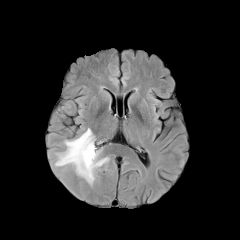
FLAIR MR image.
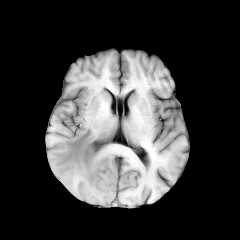
T1-weighted magnetic resonance of the same slice.
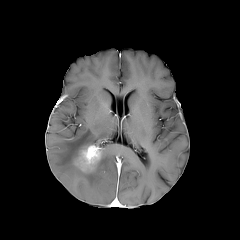
Post-contrast T1-weighted magnetic resonance of the same slice.
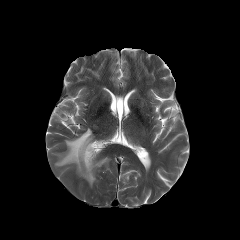
T2-weighted magnetic resonance.
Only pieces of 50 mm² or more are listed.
The 2 largest peritumoral edema regions appear at rect(96, 157, 109, 169); rect(55, 128, 95, 185). The enhancing tumor is located at rect(72, 143, 100, 172).